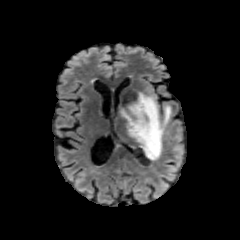
FLAIR MR.
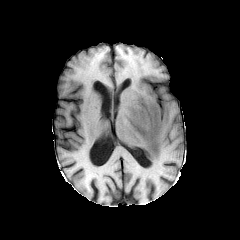
T1-weighted magnetic resonance.
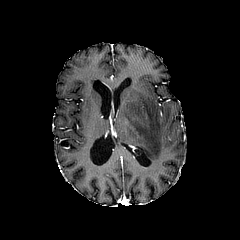
Post-contrast T1-weighted magnetic resonance.
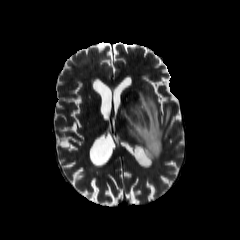
T2-weighted MR.
Brain
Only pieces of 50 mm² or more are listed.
{
  "peritumoral_edema": [
    "bbox(115, 92, 171, 168)"
  ]
}